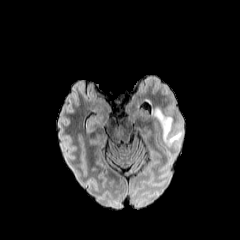
FLAIR magnetic resonance.
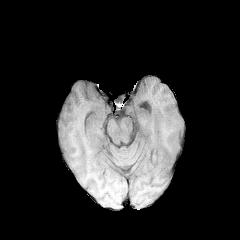
T1-weighted MRI.
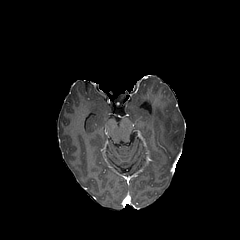
Post-contrast T1-weighted magnetic resonance.
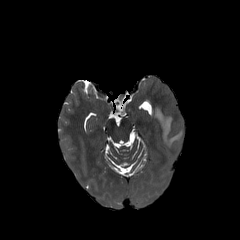
T2-weighted magnetic resonance.
Axial view
peritumoral edema: <box>153,108,182,147</box>